Brain | Image covers 240 mm x 240 mm | Slice index 54 | Axial view
FLAIR MR.
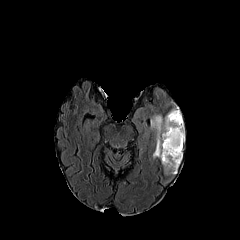
T1-weighted MR image.
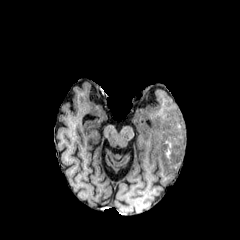
Post-contrast T1-weighted magnetic resonance.
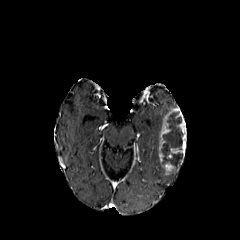
T2-weighted MRI.
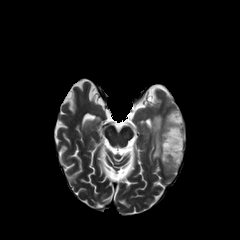
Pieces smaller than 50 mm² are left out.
enhancing tumor: <box>158,106,186,174</box> | necrotic tumor core: <box>161,112,182,168</box> | peritumoral edema: <box>150,114,162,158</box>